Axial view; Image covers 240 mm x 240 mm
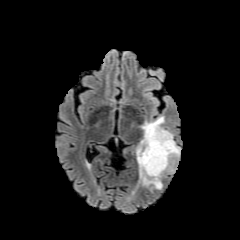
FLAIR MR image.
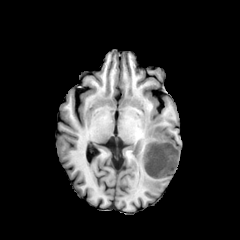
Same slice, T1-weighted MR image.
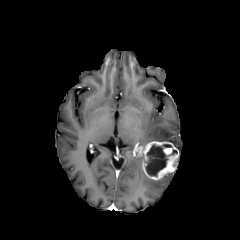
Same slice, post-contrast T1-weighted MR image.
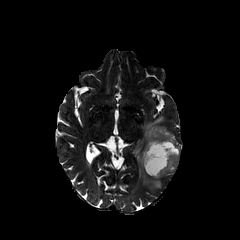
Same slice, T2-weighted magnetic resonance.
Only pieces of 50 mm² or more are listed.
peritumoral edema: x1=140, y1=116, x2=180, y2=152; x1=136, y1=150, x2=162, y2=189 | enhancing tumor: x1=136, y1=141, x2=179, y2=179 | necrotic tumor core: x1=145, y1=144, x2=171, y2=176